Slice 102 of 155, Axial slice
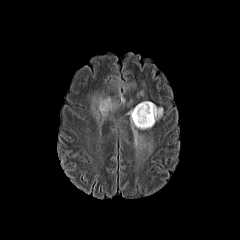
FLAIR magnetic resonance.
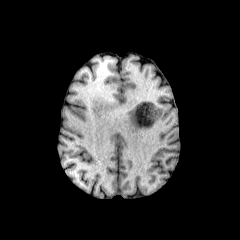
T1-weighted MRI of the same slice.
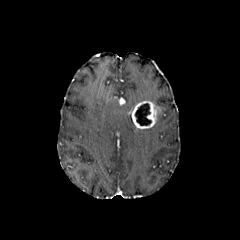
Same slice, post-contrast T1-weighted MR.
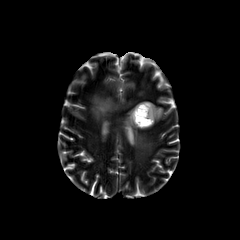
T2-weighted magnetic resonance.
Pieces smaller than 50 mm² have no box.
peritumoral edema = <box>94,97,114,115</box>, <box>128,112,145,147</box>
enhancing tumor = <box>130,101,160,128</box>
necrotic tumor core = <box>135,103,151,125</box>